FLAIR MRI.
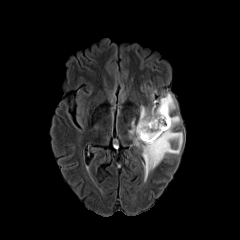
T1-weighted MR.
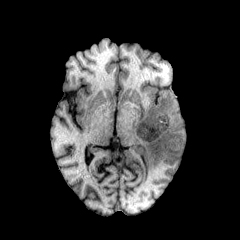
Post-contrast T1-weighted MR image.
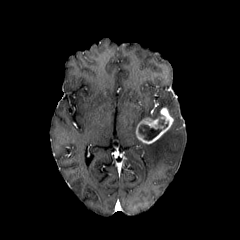
T2-weighted MR.
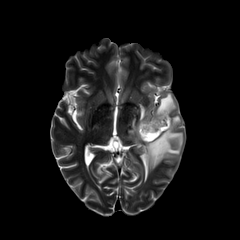
Brain
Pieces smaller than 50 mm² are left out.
necrotic_tumor_core:
  - x1=139, y1=124, x2=161, y2=140
peritumoral_edema:
  - x1=129, y1=115, x2=183, y2=181
  - x1=139, y1=93, x2=176, y2=121
enhancing_tumor:
  - x1=136, y1=107, x2=173, y2=144